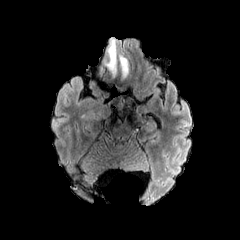
FLAIR MRI.
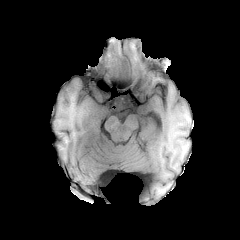
T1-weighted MR.
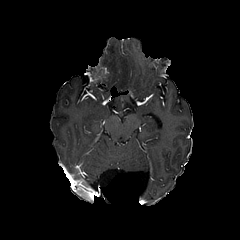
Post-contrast T1-weighted magnetic resonance of the same slice.
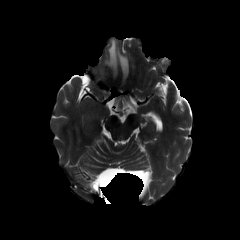
Same slice, T2-weighted MR image.
Head
peritumoral_edema:
  - bbox(106, 39, 128, 76)